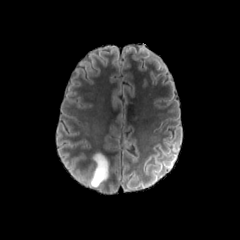
FLAIR magnetic resonance.
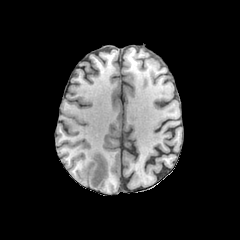
T1-weighted MR of the same slice.
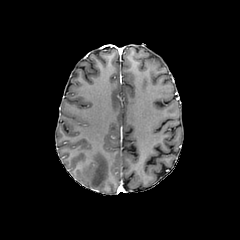
Same slice, post-contrast T1-weighted magnetic resonance.
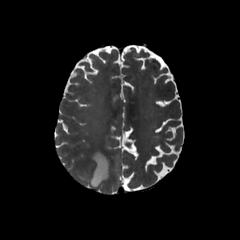
T2-weighted MRI.
Axial slice; Head
peritumoral edema — 91,153,108,187